240x240, Brain, Slice 108 of 155
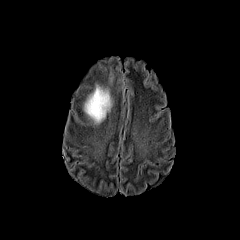
FLAIR magnetic resonance.
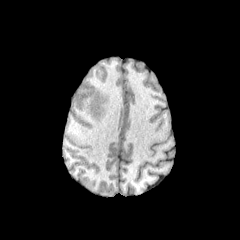
Same slice, T1-weighted MRI.
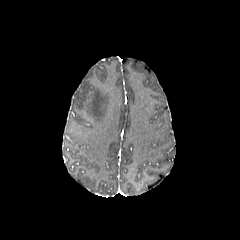
Post-contrast T1-weighted MRI of the same slice.
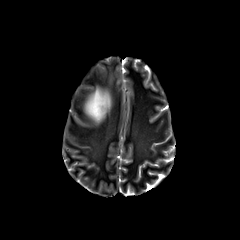
T2-weighted magnetic resonance of the same slice.
peritumoral edema: bounding box box=[82, 81, 113, 125]